Axial view. 240x240 px.
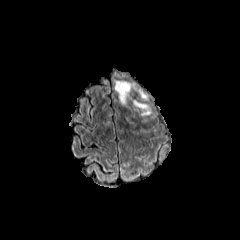
FLAIR MR image.
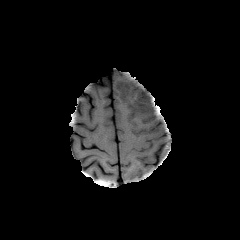
T1-weighted MRI.
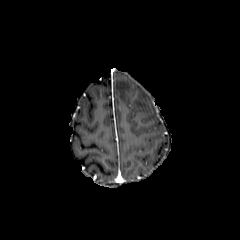
Post-contrast T1-weighted MR.
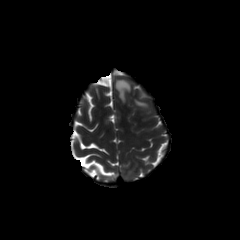
T2-weighted MR.
{"peritumoral_edema": ["(139,89,148,99)", "(133,100,151,115)", "(115,80,134,104)"]}